FLAIR magnetic resonance.
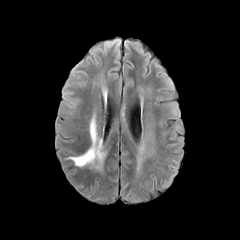
T1-weighted MRI.
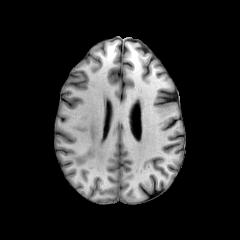
Post-contrast T1-weighted MR.
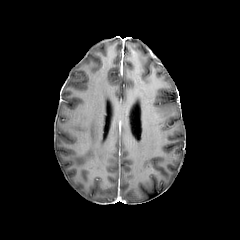
T2-weighted MRI.
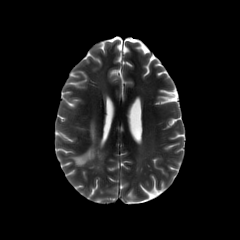
Axial view. 240x240 px. Brain.
peritumoral edema: [69,117,104,168]